Image size 240x240 | Axial view | Slice index 64 | Image width 240 mm, 1.00 mm slice spacing
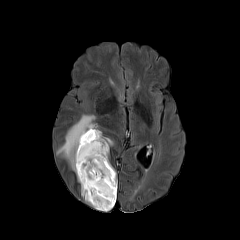
FLAIR MR image.
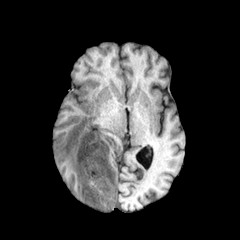
T1-weighted MRI.
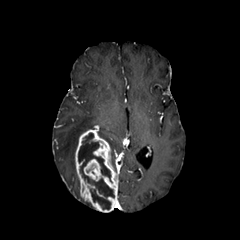
Post-contrast T1-weighted MRI.
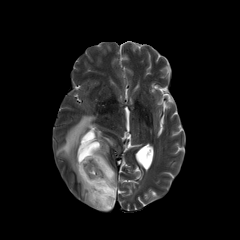
Same slice, T2-weighted magnetic resonance.
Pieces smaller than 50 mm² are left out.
The necrotic tumor core lies within x1=78, y1=133, x2=114, y2=209. The enhancing tumor is located at x1=75, y1=129, x2=117, y2=212. The 2 largest peritumoral edema regions are bounded by x1=98, y1=130, x2=113, y2=145; x1=56, y1=115, x2=96, y2=174.